Slice index 135. Head.
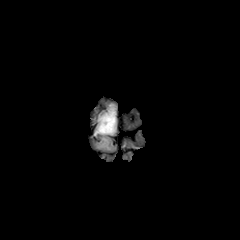
FLAIR MR.
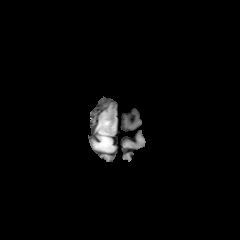
T1-weighted MR.
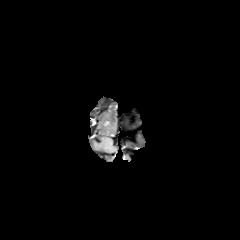
Post-contrast T1-weighted MR.
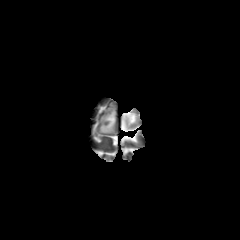
T2-weighted magnetic resonance.
The peritumoral edema appears at 95 104 116 134.